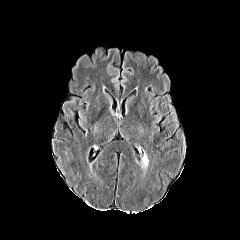
FLAIR MR.
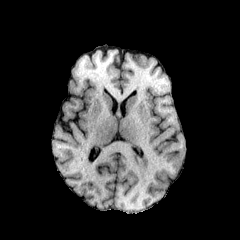
Same slice, T1-weighted magnetic resonance.
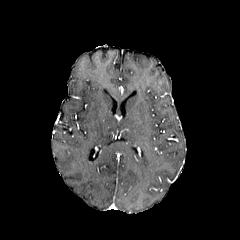
Post-contrast T1-weighted magnetic resonance of the same slice.
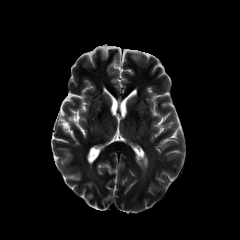
T2-weighted magnetic resonance.
240x240
peritumoral edema: [142, 152, 148, 167]